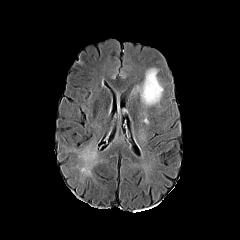
FLAIR MRI.
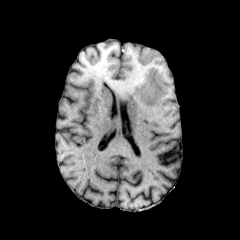
Same slice, T1-weighted MRI.
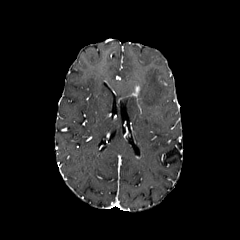
Post-contrast T1-weighted magnetic resonance of the same slice.
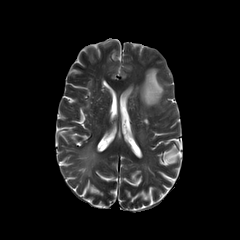
T2-weighted magnetic resonance of the same slice.
240x240 px; Head; Axial view
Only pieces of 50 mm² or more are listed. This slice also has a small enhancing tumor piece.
{"peritumoral_edema": ["140, 68, 163, 105"]}